FLAIR magnetic resonance.
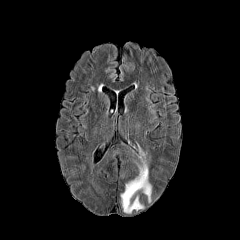
T1-weighted MRI.
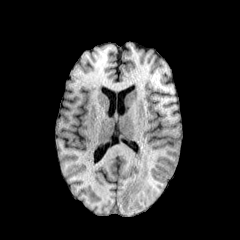
Post-contrast T1-weighted MRI.
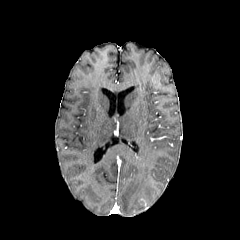
T2-weighted MR image.
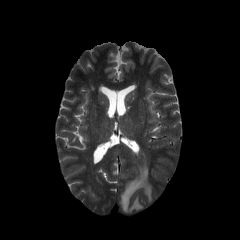
Brain. Axial view.
peritumoral edema: 120:148:151:213